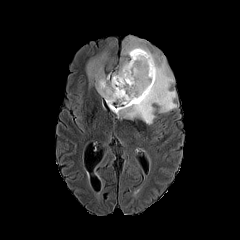
FLAIR MR.
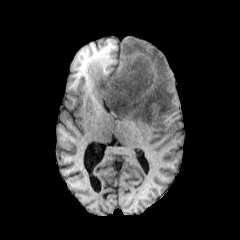
T1-weighted magnetic resonance.
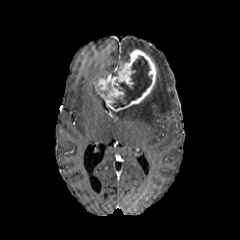
Post-contrast T1-weighted MRI.
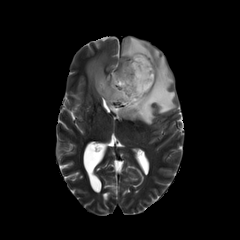
T2-weighted MR image.
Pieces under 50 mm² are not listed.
Segmented structures:
• necrotic tumor core: [x1=112, y1=55, x2=152, y2=109]
• enhancing tumor: [x1=95, y1=49, x2=156, y2=111]
• peritumoral edema: [x1=109, y1=37, x2=176, y2=124], [x1=84, y1=49, x2=107, y2=88]